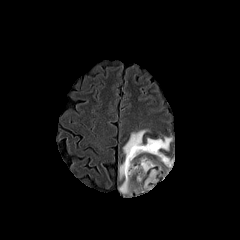
FLAIR MRI.
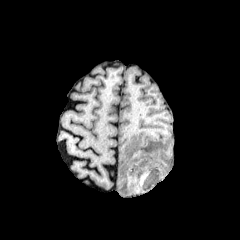
T1-weighted MRI.
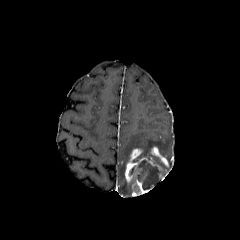
Same slice, post-contrast T1-weighted MR.
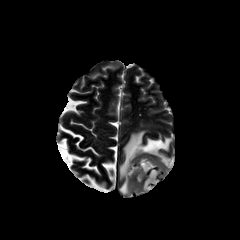
Same slice, T2-weighted MR image.
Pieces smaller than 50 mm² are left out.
The enhancing tumor is bounded by [125, 146, 171, 193]. The 2 largest peritumoral edema regions are located at [119, 179, 131, 194], [119, 130, 172, 179]. The largest necrotic tumor core region is bounded by [137, 160, 159, 189].